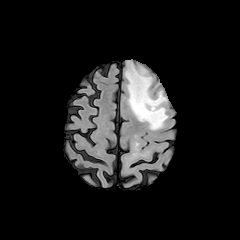
FLAIR magnetic resonance.
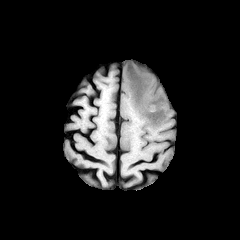
T1-weighted MRI.
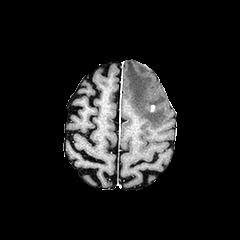
Post-contrast T1-weighted MRI.
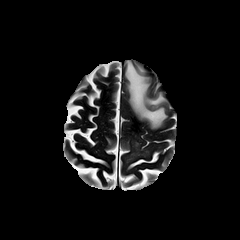
Same slice, T2-weighted MRI.
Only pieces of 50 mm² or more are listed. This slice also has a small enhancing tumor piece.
The peritumoral edema appears at 125 61 168 129.